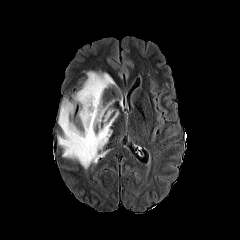
FLAIR magnetic resonance.
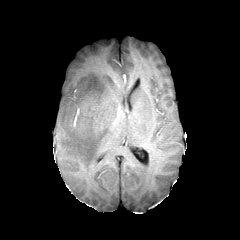
T1-weighted magnetic resonance of the same slice.
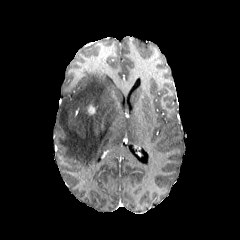
Post-contrast T1-weighted MRI.
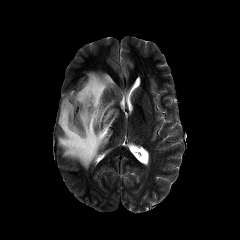
T2-weighted MRI.
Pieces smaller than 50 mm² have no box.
peritumoral edema: <box>57,71,118,169</box> | enhancing tumor: <box>88,105,95,114</box>